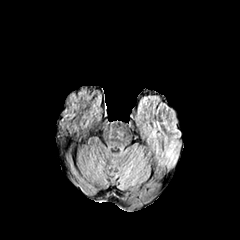
FLAIR magnetic resonance.
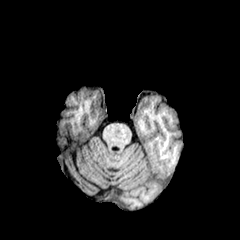
T1-weighted MR image of the same slice.
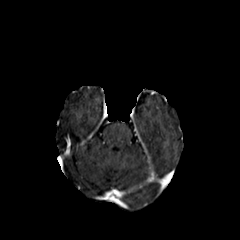
Same slice, post-contrast T1-weighted magnetic resonance.
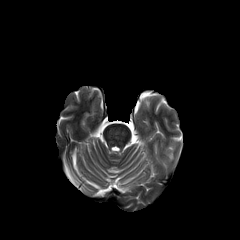
T2-weighted magnetic resonance of the same slice.
Image size 240x240
Annotated regions:
* peritumoral edema: region(166, 144, 176, 161)